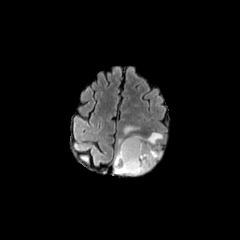
FLAIR MR.
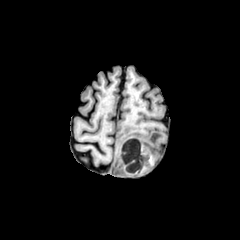
Same slice, T1-weighted MR image.
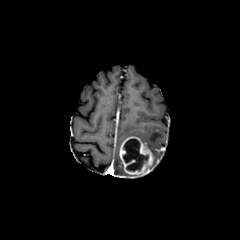
Same slice, post-contrast T1-weighted magnetic resonance.
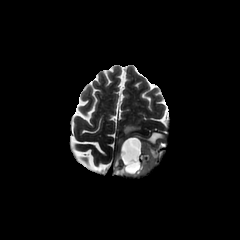
T2-weighted MR image.
240x240 | Axial view
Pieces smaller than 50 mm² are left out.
The necrotic tumor core appears at l=123, t=138, r=148, b=171. The 3 largest peritumoral edema regions appear at l=123, t=125, r=139, b=134; l=114, t=139, r=129, b=175; l=145, t=132, r=163, b=165. The enhancing tumor is located at l=119, t=136, r=154, b=176.